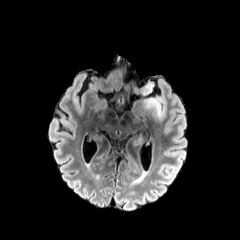
FLAIR MRI.
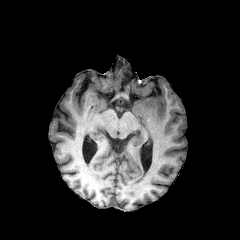
T1-weighted MRI of the same slice.
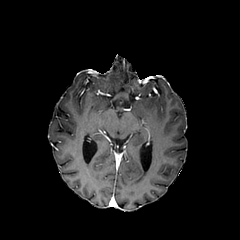
Post-contrast T1-weighted MR of the same slice.
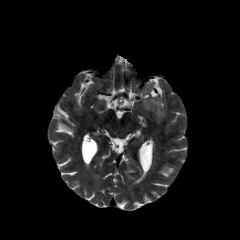
T2-weighted MR image.
Axial slice. Image size 240x240.
{
  "peritumoral_edema": [
    "bbox(143, 97, 164, 119)",
    "bbox(142, 83, 153, 95)"
  ]
}